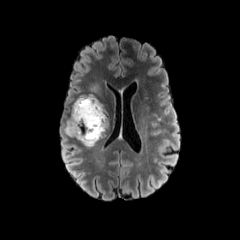
FLAIR MRI.
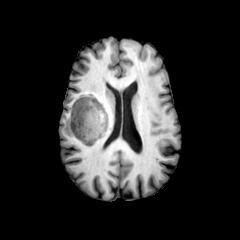
T1-weighted MR of the same slice.
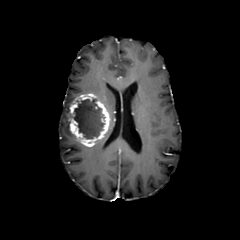
Post-contrast T1-weighted MR.
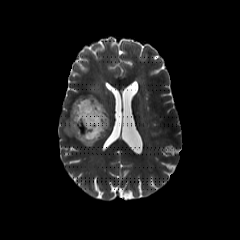
T2-weighted MRI.
Brain, Axial view
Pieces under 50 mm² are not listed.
necrotic tumor core = {"x1": 74, "y1": 99, "x2": 104, "y2": 138}
peritumoral edema = {"x1": 87, "y1": 84, "x2": 101, "y2": 94}, {"x1": 64, "y1": 118, "x2": 74, "y2": 136}
enhancing tumor = {"x1": 69, "y1": 93, "x2": 109, "y2": 146}